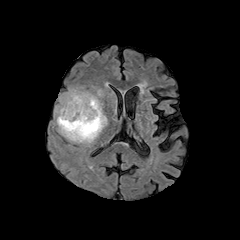
FLAIR MR.
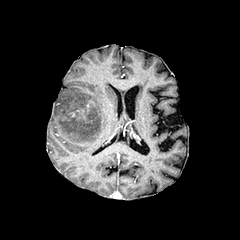
Same slice, T1-weighted MR image.
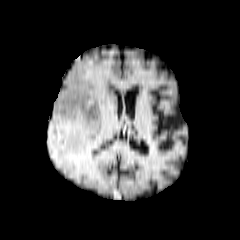
Same slice, post-contrast T1-weighted MR image.
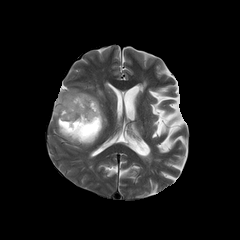
T2-weighted MRI of the same slice.
Head
peritumoral edema at left=54, top=88, right=107, bottom=145
necrotic tumor core at left=60, top=119, right=98, bottom=138